Image width 240 mm | Brain | Slice 73/155
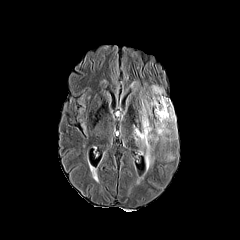
FLAIR magnetic resonance.
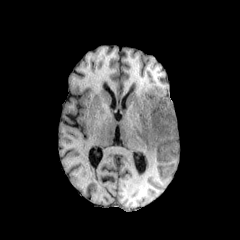
Same slice, T1-weighted MR image.
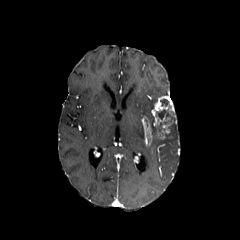
Post-contrast T1-weighted MR of the same slice.
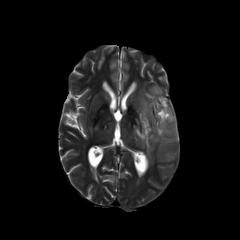
T2-weighted MRI.
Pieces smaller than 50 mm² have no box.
necrotic tumor core: <box>157,109,175,122</box> | enhancing tumor: <box>141,116,152,146</box>, <box>151,96,176,139</box> | peritumoral edema: <box>140,85,177,165</box>, <box>133,125,145,147</box>